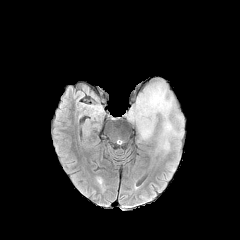
FLAIR MR.
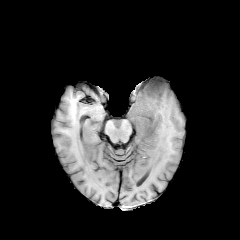
T1-weighted MR image.
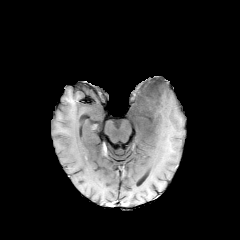
Post-contrast T1-weighted MR of the same slice.
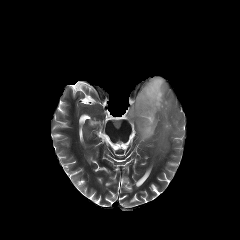
T2-weighted MR image.
240x240.
peritumoral edema = 125:76:183:153